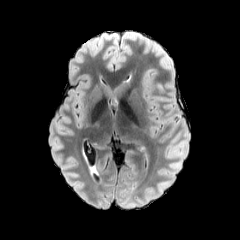
FLAIR MR image.
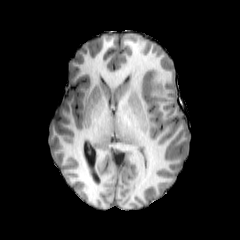
Same slice, T1-weighted magnetic resonance.
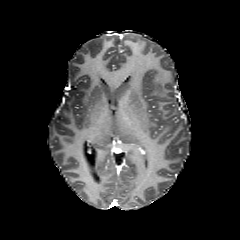
Same slice, post-contrast T1-weighted MR image.
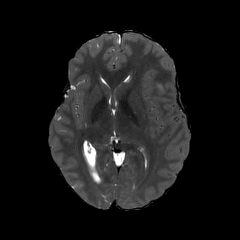
Same slice, T2-weighted MRI.
• peritumoral edema: region(154, 82, 164, 92)